FLAIR MR.
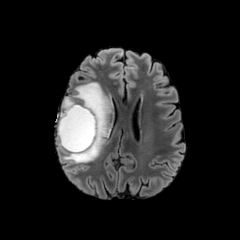
T1-weighted MRI.
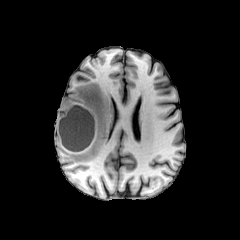
Post-contrast T1-weighted MR.
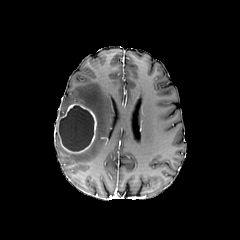
T2-weighted MR image.
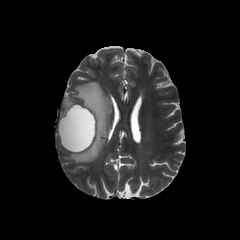
<segmentation>
  <enhancing_tumor>box(57, 103, 97, 153)</enhancing_tumor>
  <peritumoral_edema>box(59, 97, 75, 117); box(56, 82, 110, 163)</peritumoral_edema>
  <necrotic_tumor_core>box(59, 105, 93, 151)</necrotic_tumor_core>
</segmentation>